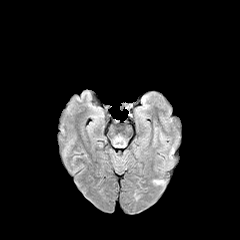
FLAIR MR.
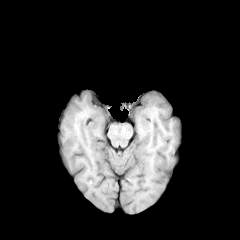
T1-weighted magnetic resonance.
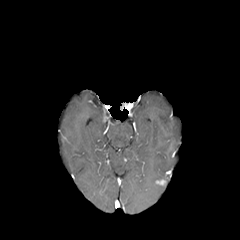
Post-contrast T1-weighted MR.
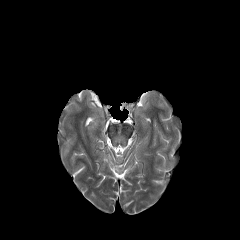
T2-weighted MR.
Axial plane; 240x240 px; Brain
- enhancing tumor: bbox(154, 179, 165, 185)